Image width 240 mm, 240x240 px
FLAIR magnetic resonance.
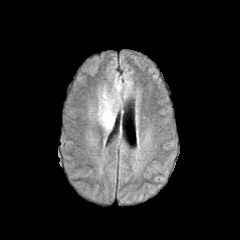
T1-weighted MR image.
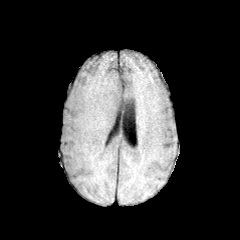
Post-contrast T1-weighted MRI.
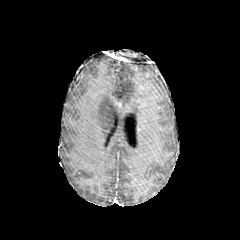
T2-weighted MRI.
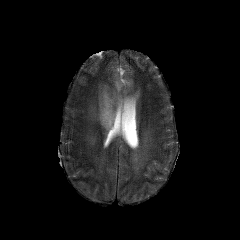
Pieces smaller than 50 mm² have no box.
<segmentation>
  <peritumoral_edema><bbox>94, 73, 132, 131</bbox></peritumoral_edema>
</segmentation>